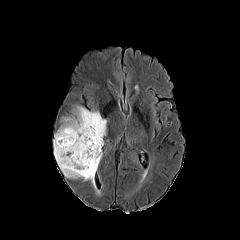
FLAIR MR.
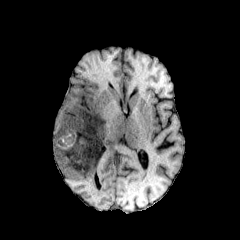
T1-weighted MRI.
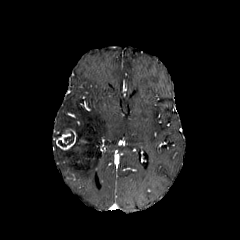
Same slice, post-contrast T1-weighted MRI.
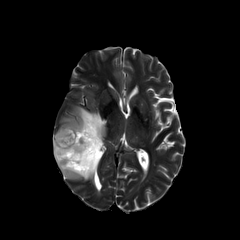
T2-weighted MRI of the same slice.
Brain; Axial view
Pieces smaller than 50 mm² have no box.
<segmentation>
  <peritumoral_edema>[53,106,106,187]</peritumoral_edema>
  <enhancing_tumor>[56,129,76,150]</enhancing_tumor>
  <necrotic_tumor_core>[58,131,74,146]</necrotic_tumor_core>
</segmentation>